FLAIR MR image.
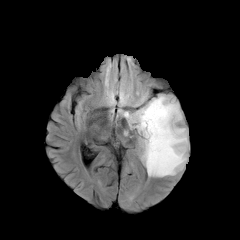
T1-weighted MR image.
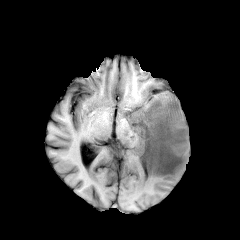
Post-contrast T1-weighted magnetic resonance.
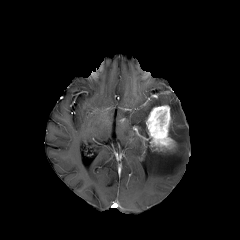
T2-weighted magnetic resonance.
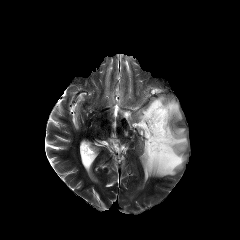
Axial plane.
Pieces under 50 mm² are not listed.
Annotated regions:
- peritumoral edema: 136, 94, 147, 105; 119, 95, 188, 177
- enhancing tumor: 146, 105, 176, 151